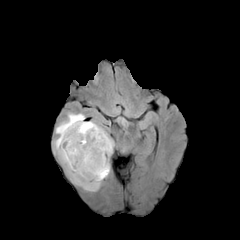
FLAIR MR.
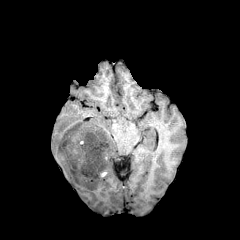
T1-weighted MR.
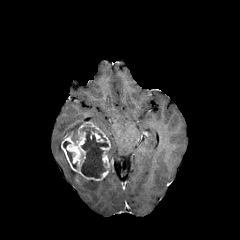
Post-contrast T1-weighted MR image.
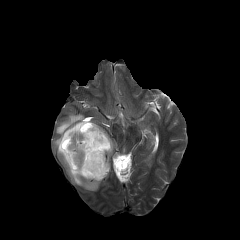
T2-weighted MR.
Axial plane. Head.
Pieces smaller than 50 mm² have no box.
necrotic tumor core — (81, 124, 108, 178)
peritumoral edema — (90, 120, 114, 161), (53, 113, 102, 191)
enhancing tumor — (61, 121, 110, 180)